Brain, Axial view
FLAIR MRI.
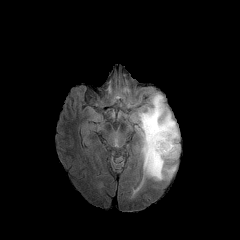
T1-weighted magnetic resonance.
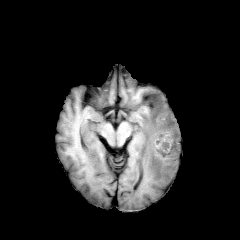
Post-contrast T1-weighted MR.
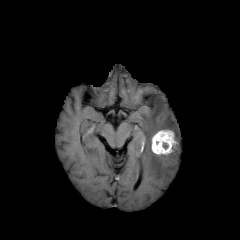
T2-weighted magnetic resonance.
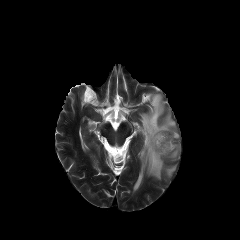
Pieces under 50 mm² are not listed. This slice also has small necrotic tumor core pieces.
enhancing tumor — x1=151 y1=129 x2=177 y2=154
peritumoral edema — x1=138 y1=93 x2=179 y2=180